Head; Axial view
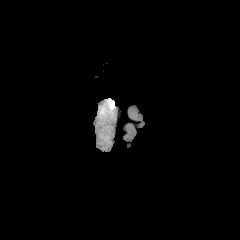
FLAIR MR image.
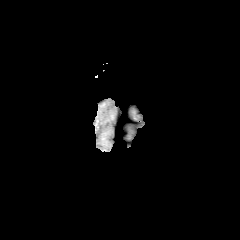
T1-weighted MRI.
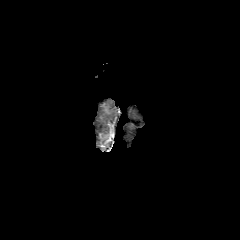
Post-contrast T1-weighted magnetic resonance of the same slice.
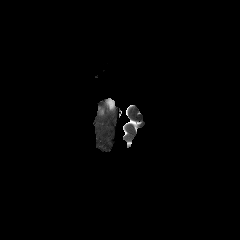
T2-weighted magnetic resonance.
The peritumoral edema is at 107 98 114 109.